Image width 240 mm, 1.00 mm slice spacing
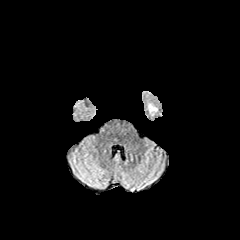
FLAIR MR image.
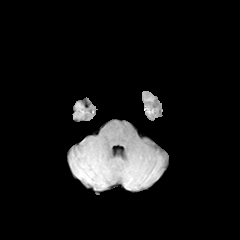
T1-weighted magnetic resonance of the same slice.
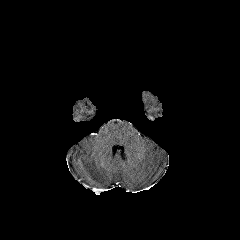
Post-contrast T1-weighted magnetic resonance.
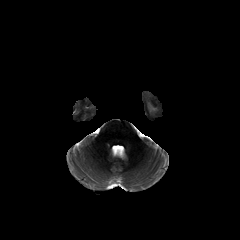
T2-weighted MR.
peritumoral edema — left=148, top=102, right=157, bottom=115